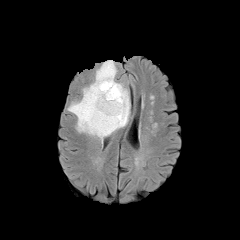
FLAIR MR image.
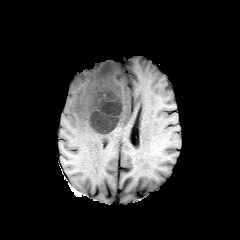
Same slice, T1-weighted MR.
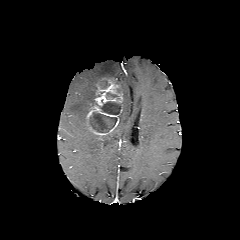
Post-contrast T1-weighted MR image.
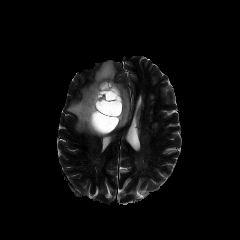
Same slice, T2-weighted magnetic resonance.
Axial view
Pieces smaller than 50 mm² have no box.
peritumoral edema = (67,60,130,142)
necrotic tumor core = (89,112,117,132), (106,92,119,99), (96,101,121,114)
enhancing tumor = (86,78,122,135)